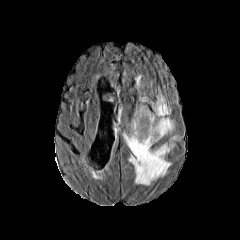
FLAIR MRI.
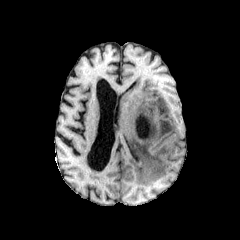
T1-weighted MR image of the same slice.
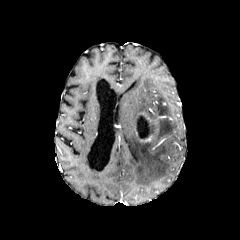
Post-contrast T1-weighted MR image.
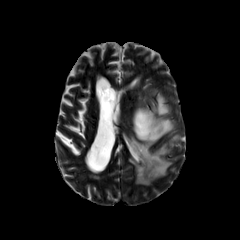
Same slice, T2-weighted MR image.
Axial plane | Head
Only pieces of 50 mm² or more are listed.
The necrotic tumor core is at box(135, 115, 156, 138). The 2 largest enhancing tumor regions are located at box(136, 112, 157, 125); box(138, 127, 158, 142). The 3 largest peritumoral edema regions appear at box(132, 107, 154, 130); box(151, 94, 170, 115); box(123, 118, 174, 185).